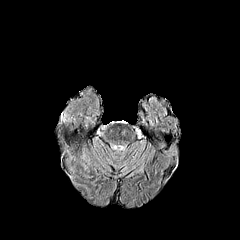
FLAIR magnetic resonance.
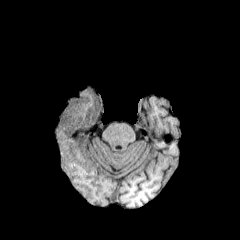
Same slice, T1-weighted MR.
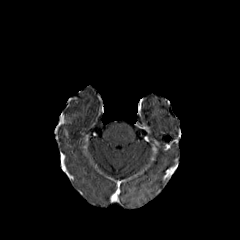
Post-contrast T1-weighted MR.
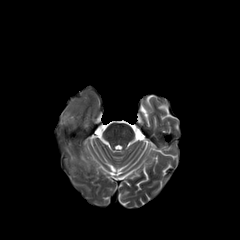
T2-weighted MR image.
Head
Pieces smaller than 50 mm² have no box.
enhancing tumor: box(59, 112, 70, 125) | necrotic tumor core: box(65, 113, 75, 122)